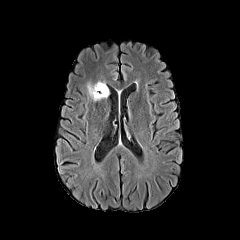
FLAIR MR image.
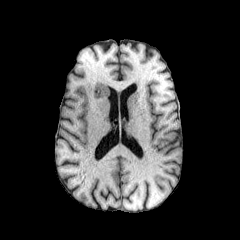
T1-weighted MR image.
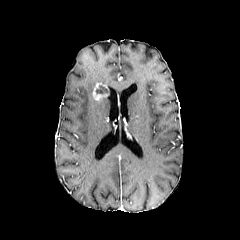
Post-contrast T1-weighted MRI.
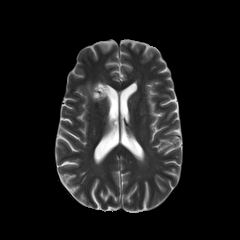
T2-weighted MR.
Head, Image size 240x240
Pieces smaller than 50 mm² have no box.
enhancing_tumor:
  - bbox(92, 82, 108, 100)
necrotic_tumor_core:
  - bbox(96, 85, 108, 94)
peritumoral_edema:
  - bbox(87, 83, 94, 100)